Image width 240 mm, 1.00 mm slice spacing; Head
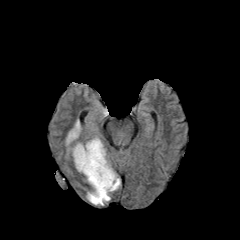
FLAIR MRI.
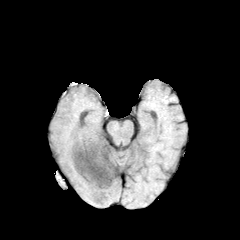
T1-weighted MR image.
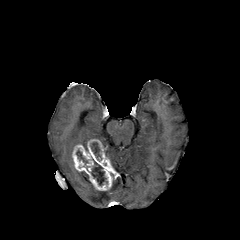
Post-contrast T1-weighted MR image of the same slice.
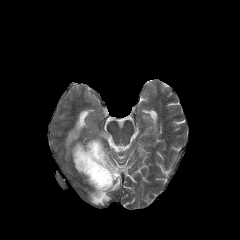
T2-weighted MR.
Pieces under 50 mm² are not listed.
enhancing tumor: <bbox>72, 139, 118, 190</bbox> | necrotic tumor core: <bbox>91, 142, 100, 157</bbox>, <bbox>91, 165, 105, 185</bbox> | peritumoral edema: <bbox>81, 172, 120, 205</bbox>, <bbox>65, 119, 81, 154</bbox>